Image covers 240 mm x 240 mm | Axial view | Head
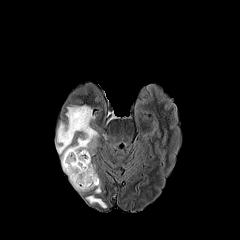
FLAIR MRI.
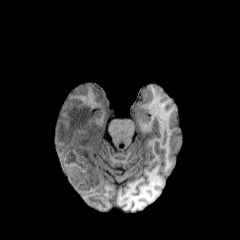
T1-weighted MR image.
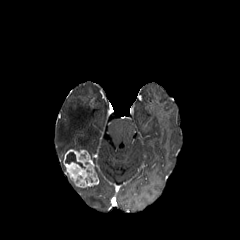
Post-contrast T1-weighted MRI.
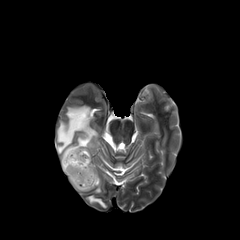
T2-weighted MR.
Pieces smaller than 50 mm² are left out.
enhancing tumor: x1=63, y1=149, x2=99, y2=187 | peritumoral edema: x1=56, y1=105, x2=98, y2=170; x1=95, y1=182, x2=101, y2=193; x1=86, y1=195, x2=106, y2=207; x1=70, y1=180, x2=94, y2=191 | necrotic tumor core: x1=65, y1=152, x2=85, y2=168